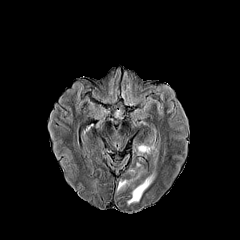
FLAIR MR image.
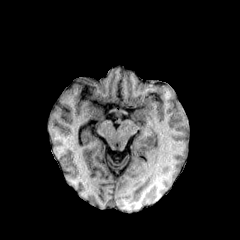
T1-weighted MRI.
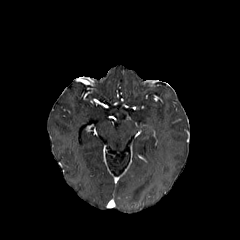
Post-contrast T1-weighted MR of the same slice.
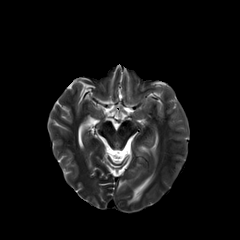
T2-weighted MRI.
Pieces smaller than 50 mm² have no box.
Annotated regions:
- peritumoral edema: <box>117,180,131,190</box>, <box>137,145,150,153</box>, <box>128,174,153,204</box>